240x240 px | Axial plane | Slice 82/155
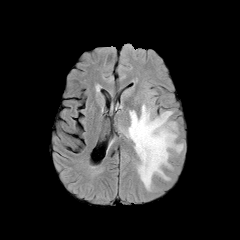
FLAIR MRI.
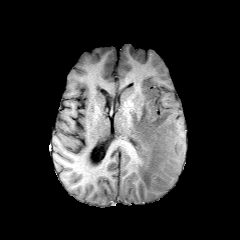
T1-weighted MR image.
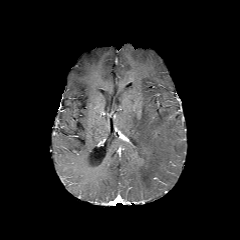
Post-contrast T1-weighted MR.
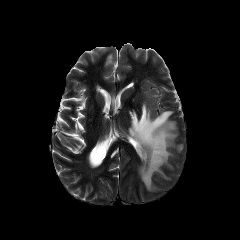
Same slice, T2-weighted MRI.
Findings:
* peritumoral edema: 123 103 183 190